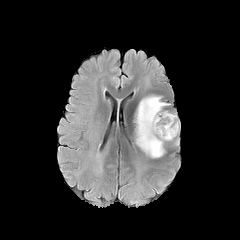
FLAIR magnetic resonance.
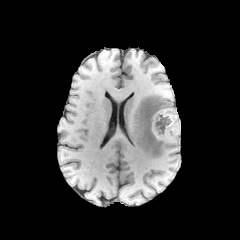
Same slice, T1-weighted MRI.
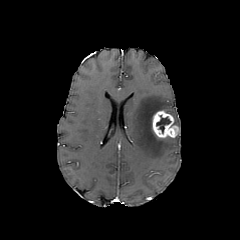
Post-contrast T1-weighted MRI.
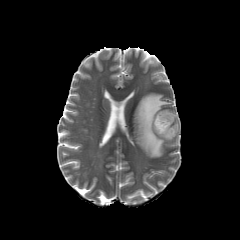
T2-weighted magnetic resonance of the same slice.
Axial view
<segmentation>
  <peritumoral_edema>{"x1": 134, "y1": 95, "x2": 173, "y2": 157}, {"x1": 165, "y1": 111, "x2": 180, "y2": 127}</peritumoral_edema>
  <enhancing_tumor>{"x1": 152, "y1": 110, "x2": 179, "y2": 138}</enhancing_tumor>
  <necrotic_tumor_core>{"x1": 156, "y1": 115, "x2": 170, "y2": 133}</necrotic_tumor_core>
</segmentation>